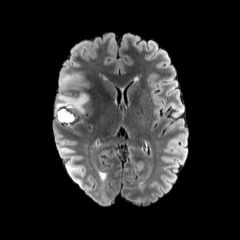
FLAIR MR.
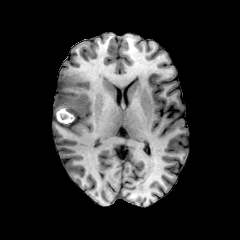
T1-weighted MRI.
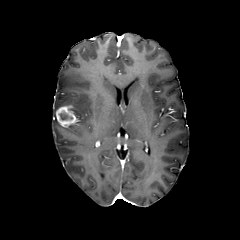
Post-contrast T1-weighted MRI.
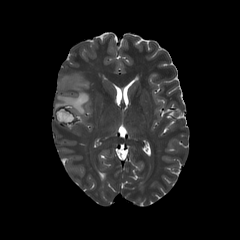
T2-weighted MRI.
Image size 240x240. Head.
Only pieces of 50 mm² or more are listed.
The peritumoral edema is at region(55, 72, 89, 114). The enhancing tumor is at region(55, 105, 76, 126). The largest necrotic tumor core region is at region(59, 113, 68, 120).